Axial view. 240x240. Head.
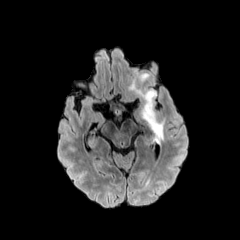
FLAIR MR image.
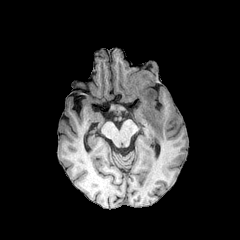
T1-weighted MRI.
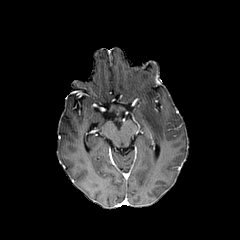
Post-contrast T1-weighted magnetic resonance.
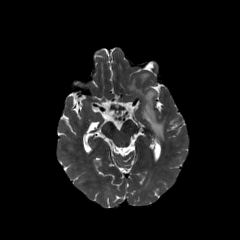
T2-weighted MR image of the same slice.
peritumoral_edema:
  - {"x1": 139, "y1": 74, "x2": 148, "y2": 80}
  - {"x1": 129, "y1": 79, "x2": 164, "y2": 142}